FLAIR MR image.
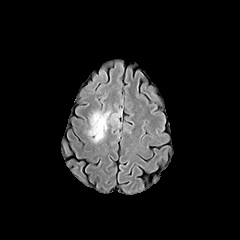
T1-weighted magnetic resonance.
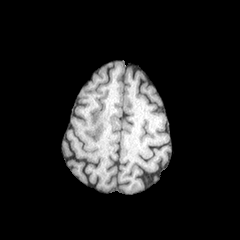
Post-contrast T1-weighted MRI.
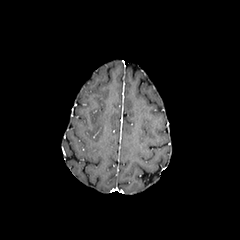
T2-weighted MR image.
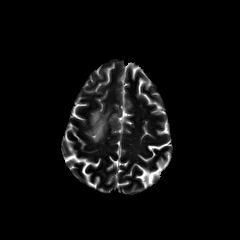
Brain | 240x240 px
The peritumoral edema is at 88:111:120:142.